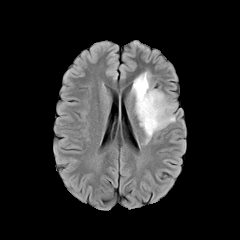
FLAIR MR image.
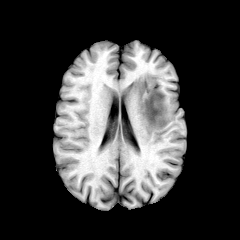
T1-weighted MRI.
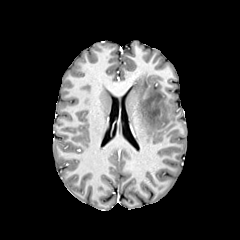
Post-contrast T1-weighted magnetic resonance.
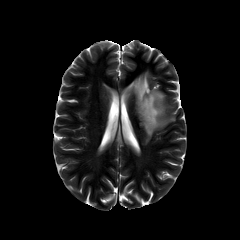
Same slice, T2-weighted magnetic resonance.
Brain, Axial slice
peritumoral_edema:
  - bbox(132, 72, 175, 144)